FLAIR MR image.
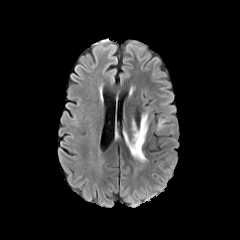
T1-weighted MR image.
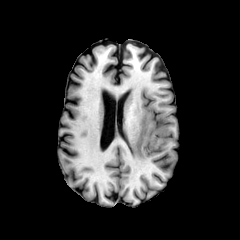
Post-contrast T1-weighted MR image.
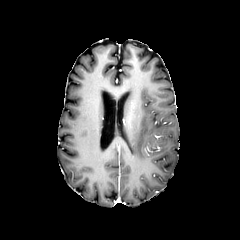
T2-weighted MRI.
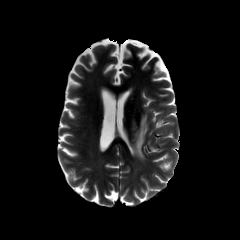
Head
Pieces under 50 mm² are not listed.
peritumoral edema — <box>126,112,148,162</box>